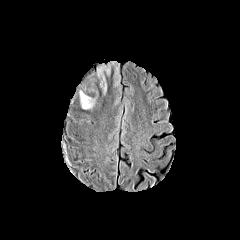
FLAIR MR.
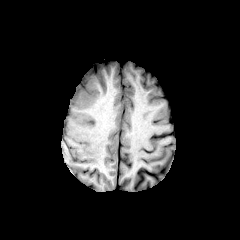
T1-weighted MRI.
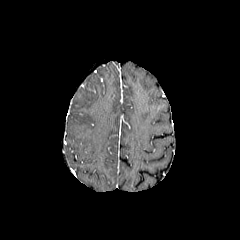
Post-contrast T1-weighted MR.
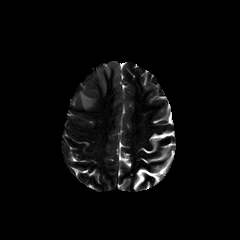
T2-weighted MRI.
Brain, 240x240 px, Axial view
peritumoral edema = (80,73,98,108), (97,61,119,94)